Slice 73 of 155, Axial slice
FLAIR MR image.
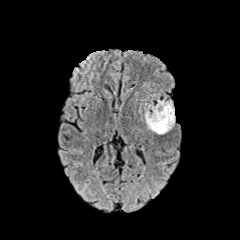
T1-weighted MRI.
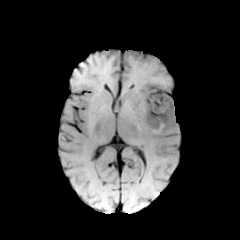
Post-contrast T1-weighted MR.
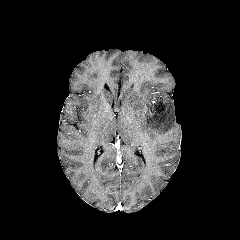
T2-weighted MR image.
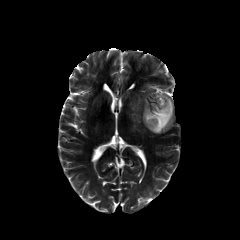
necrotic tumor core: bbox(155, 104, 164, 115) | peritumoral edema: bbox(144, 99, 174, 133)